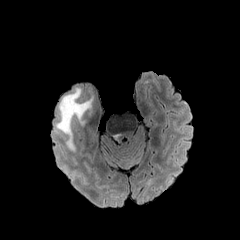
FLAIR MR.
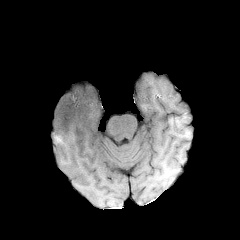
T1-weighted MRI.
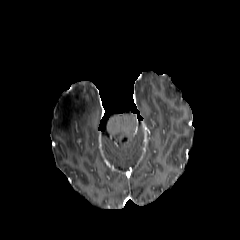
Post-contrast T1-weighted MR image.
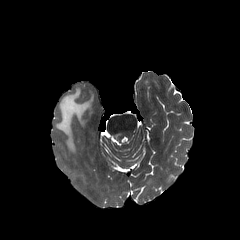
T2-weighted MRI.
Brain
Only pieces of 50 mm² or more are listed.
peritumoral edema: left=55, top=87, right=92, bottom=152